FLAIR magnetic resonance.
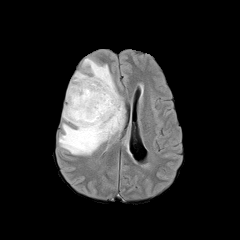
T1-weighted magnetic resonance.
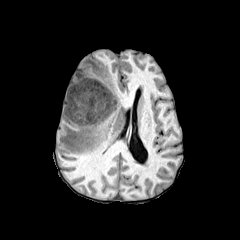
Post-contrast T1-weighted MRI.
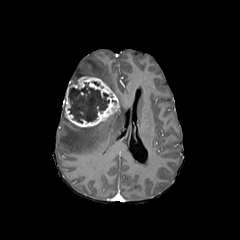
T2-weighted magnetic resonance.
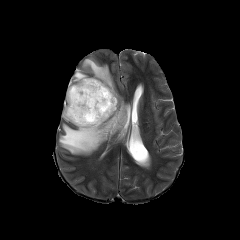
Axial view, Brain
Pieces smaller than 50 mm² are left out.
The largest peritumoral edema region is bounded by (x1=59, y1=58, x2=124, y2=154). The largest enhancing tumor region is bounded by (x1=64, y1=76, x2=119, y2=127). The largest necrotic tumor core region lies within (x1=68, y1=83, x2=109, y2=123).